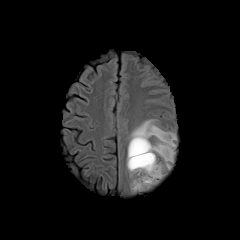
FLAIR MRI.
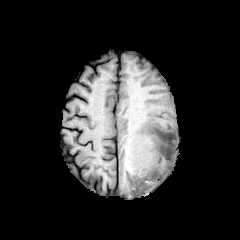
T1-weighted MR of the same slice.
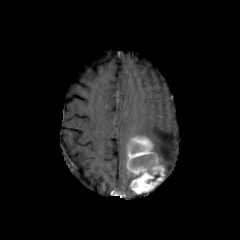
Post-contrast T1-weighted magnetic resonance of the same slice.
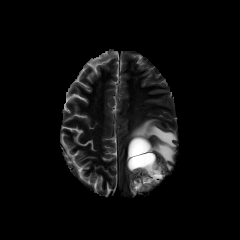
Same slice, T2-weighted MR.
Axial view. Image size 240x240. Head.
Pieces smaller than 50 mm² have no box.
necrotic tumor core = box=[132, 155, 153, 166]
enhancing tumor = box=[127, 136, 165, 193]
peritumoral edema = box=[128, 119, 176, 169]